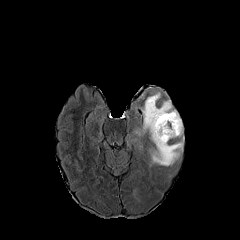
FLAIR magnetic resonance.
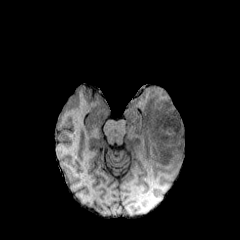
T1-weighted MR.
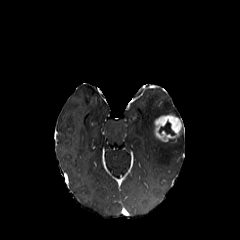
Post-contrast T1-weighted MRI of the same slice.
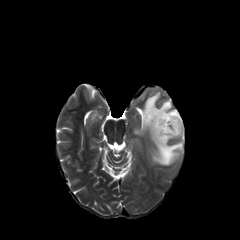
T2-weighted MRI.
Axial view; Brain
The necrotic tumor core is at (159, 121, 175, 135). The enhancing tumor is located at (154, 114, 183, 141). The peritumoral edema is at (135, 92, 183, 165).